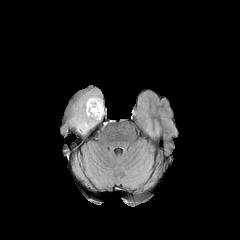
FLAIR MR image.
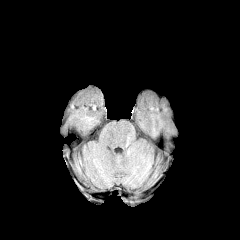
T1-weighted magnetic resonance.
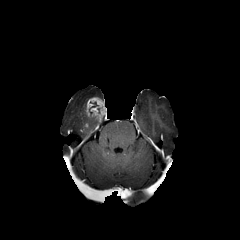
Post-contrast T1-weighted magnetic resonance.
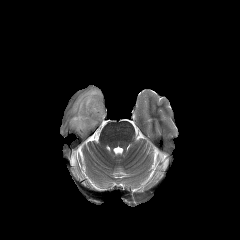
T2-weighted MR image.
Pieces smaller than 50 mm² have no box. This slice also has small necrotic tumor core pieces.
The largest enhancing tumor region lies within box=[85, 97, 106, 121]. The peritumoral edema is bounded by box=[70, 90, 100, 133].